Axial plane, Slice 105/155, Brain
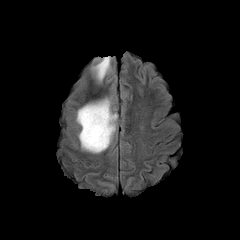
FLAIR MRI.
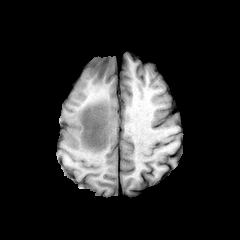
Same slice, T1-weighted MR.
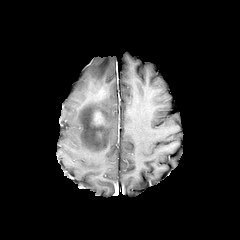
Post-contrast T1-weighted MR image.
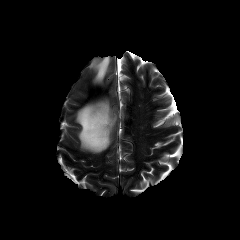
Same slice, T2-weighted MRI.
enhancing tumor = 91,109,108,127; 95,130,104,140
peritumoral edema = 93,56,110,81; 76,98,117,153